Slice index 93; Brain
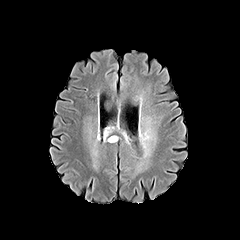
FLAIR MR image.
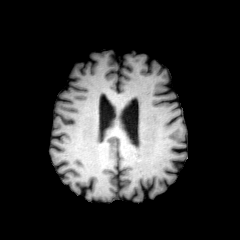
T1-weighted MR.
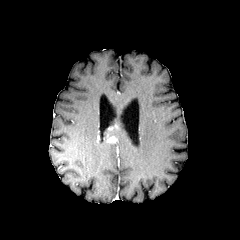
Post-contrast T1-weighted MR.
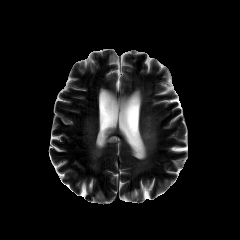
Same slice, T2-weighted magnetic resonance.
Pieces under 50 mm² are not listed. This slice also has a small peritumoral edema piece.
<segmentation>
  <enhancing_tumor>106 136 118 142</enhancing_tumor>
</segmentation>